Brain, Slice index 109, Axial view
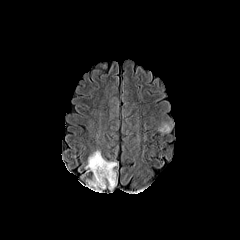
FLAIR MRI.
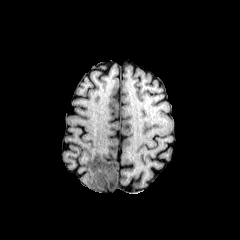
Same slice, T1-weighted magnetic resonance.
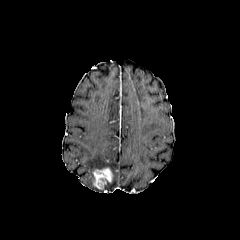
Post-contrast T1-weighted MR image.
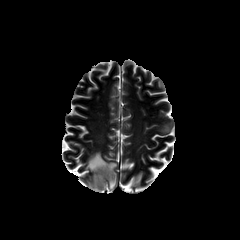
T2-weighted MRI.
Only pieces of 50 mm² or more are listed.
peritumoral edema: rect(86, 175, 101, 191); rect(85, 151, 117, 190) | enhancing tumor: rect(92, 167, 113, 189)